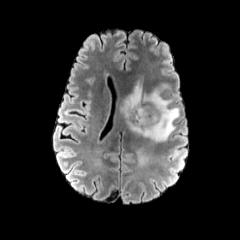
FLAIR MR image.
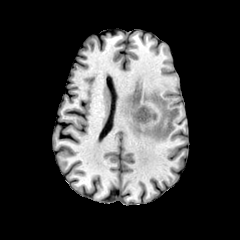
T1-weighted MR.
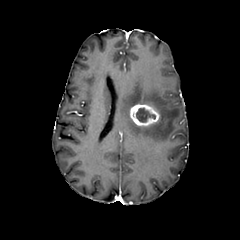
Post-contrast T1-weighted magnetic resonance of the same slice.
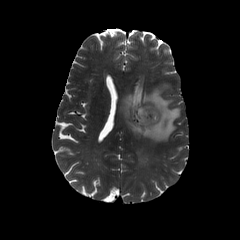
Same slice, T2-weighted MR.
Head.
<segmentation>
  <necrotic_tumor_core><bbox>136, 108, 155, 122</bbox></necrotic_tumor_core>
  <peritumoral_edema><bbox>122, 84, 179, 141</bbox></peritumoral_edema>
  <enhancing_tumor><bbox>130, 104, 159, 126</bbox></enhancing_tumor>
</segmentation>